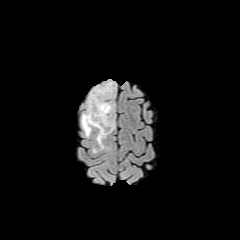
FLAIR MRI.
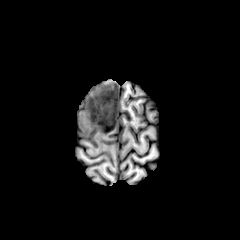
T1-weighted MRI of the same slice.
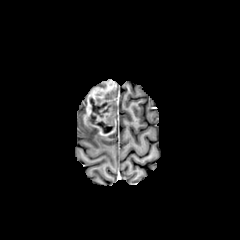
Post-contrast T1-weighted MR of the same slice.
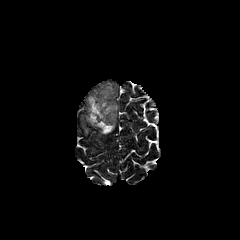
T2-weighted MR of the same slice.
Brain
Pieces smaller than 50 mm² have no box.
• enhancing tumor: [83, 80, 117, 136]
• necrotic tumor core: [90, 98, 106, 117], [89, 114, 113, 133]
• peritumoral edema: [81, 111, 106, 149]